240x240
FLAIR MR image.
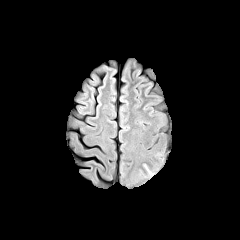
T1-weighted MRI.
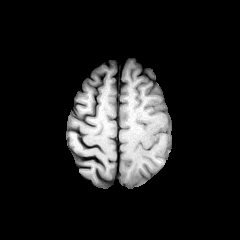
Post-contrast T1-weighted MRI.
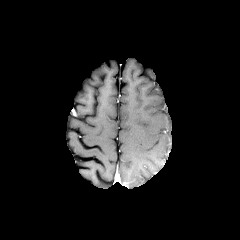
T2-weighted MR.
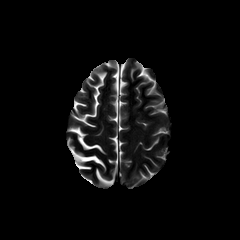
Annotated regions:
- peritumoral edema: [x1=139, y1=163, x2=158, y2=178]